Brain | Axial view | 240x240
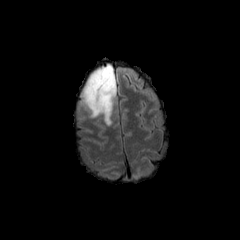
FLAIR MR image.
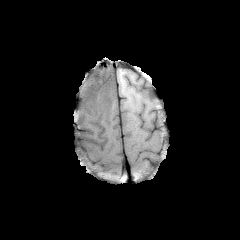
Same slice, T1-weighted magnetic resonance.
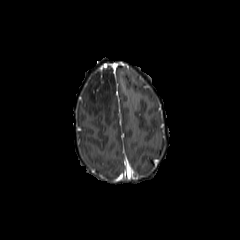
Post-contrast T1-weighted MRI.
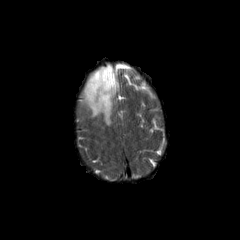
T2-weighted magnetic resonance.
peritumoral edema: bbox(81, 64, 116, 125)